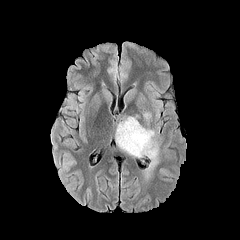
FLAIR MR.
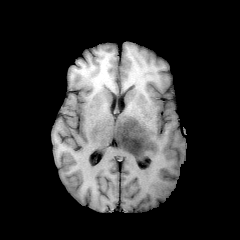
T1-weighted MRI of the same slice.
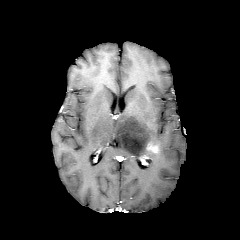
Post-contrast T1-weighted MR of the same slice.
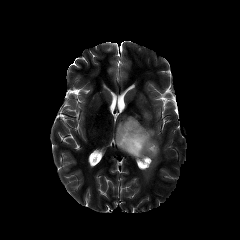
T2-weighted MRI.
Axial slice
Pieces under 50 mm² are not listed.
• peritumoral edema: region(115, 115, 159, 175)
• enhancing tumor: region(146, 142, 159, 153)